FLAIR MR.
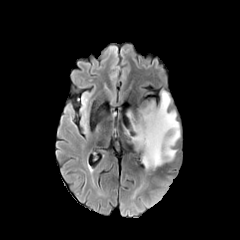
T1-weighted magnetic resonance.
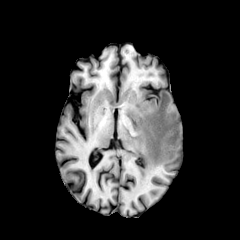
Post-contrast T1-weighted MR image.
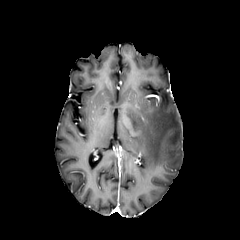
T2-weighted magnetic resonance.
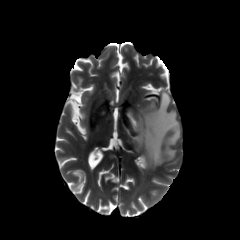
Head
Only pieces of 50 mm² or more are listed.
The largest peritumoral edema region is located at [x1=127, y1=91, x2=180, y2=170].